FLAIR magnetic resonance.
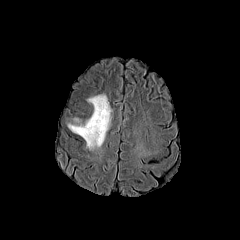
T1-weighted MR image.
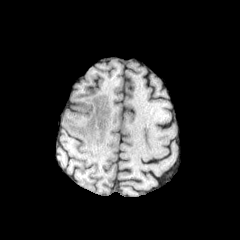
Post-contrast T1-weighted magnetic resonance.
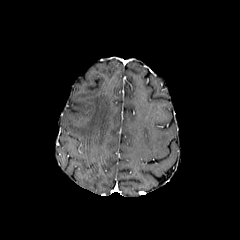
T2-weighted MR.
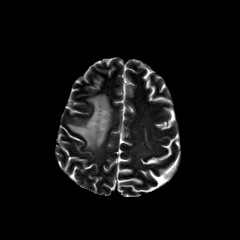
240x240 px | Brain
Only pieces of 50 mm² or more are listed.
peritumoral edema: <box>68,94,112,149</box>